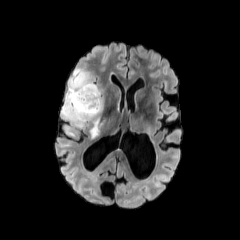
FLAIR magnetic resonance.
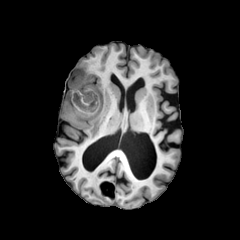
T1-weighted MR image of the same slice.
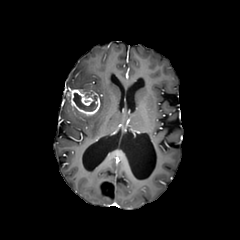
Same slice, post-contrast T1-weighted MR.
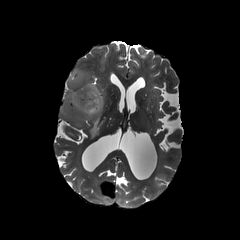
T2-weighted MR of the same slice.
Brain, 240x240
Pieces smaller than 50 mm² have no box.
peritumoral edema at [x1=90, y1=117, x2=100, y2=138], [x1=61, y1=69, x2=102, y2=127]
enhancing tumor at [x1=64, y1=87, x2=100, y2=115]
necrotic tumor core at [x1=73, y1=93, x2=97, y2=111]